Axial slice; Slice 68 of 155; Image width 240 mm; Image size 240x240
FLAIR MR image.
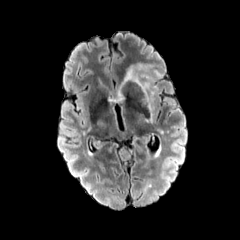
T1-weighted magnetic resonance.
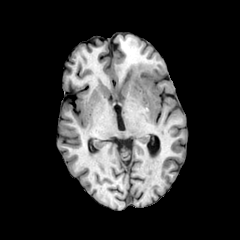
Post-contrast T1-weighted MRI.
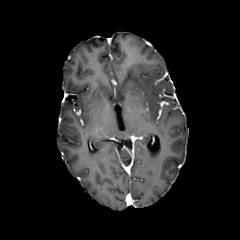
T2-weighted MR image.
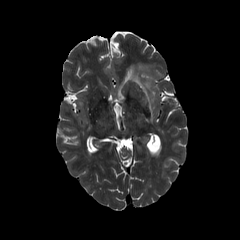
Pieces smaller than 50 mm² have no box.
peritumoral edema: [123, 63, 156, 121]